Slice 38/155
FLAIR MR.
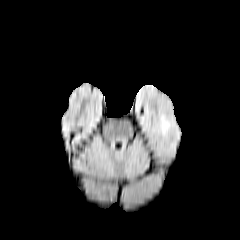
T1-weighted MRI.
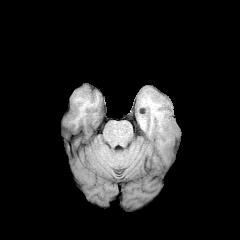
Post-contrast T1-weighted MR image.
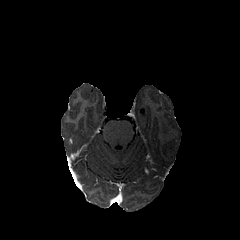
T2-weighted MRI.
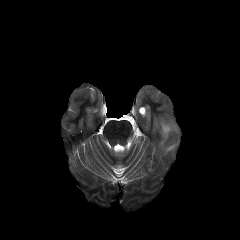
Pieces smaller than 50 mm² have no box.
The largest peritumoral edema region is bounded by {"x1": 160, "y1": 117, "x2": 176, "y2": 146}.